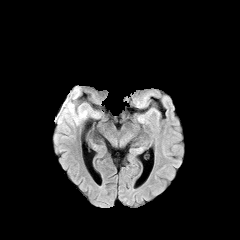
FLAIR MR image.
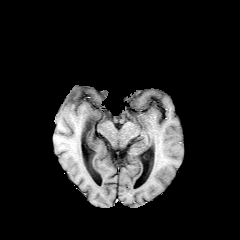
T1-weighted MRI.
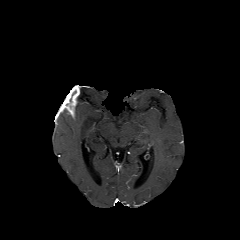
Same slice, post-contrast T1-weighted MRI.
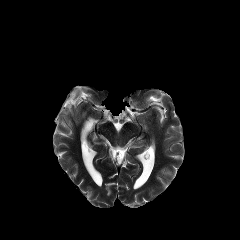
T2-weighted MRI.
240x240 px. Head.
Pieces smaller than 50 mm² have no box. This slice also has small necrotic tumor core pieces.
peritumoral_edema:
  - <bbox>57, 104, 88, 128</bbox>
enhancing_tumor:
  - <bbox>54, 85, 80, 121</bbox>